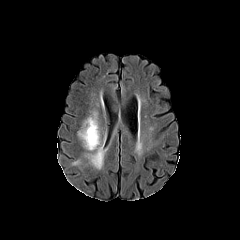
FLAIR MR image.
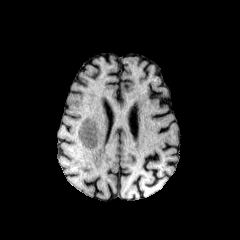
T1-weighted MR.
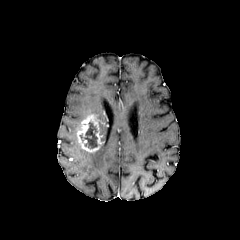
Post-contrast T1-weighted MR image.
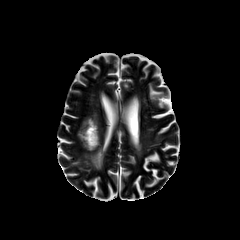
T2-weighted magnetic resonance.
240x240 px, Head
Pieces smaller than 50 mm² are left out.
peritumoral edema at (x1=85, y1=145, x2=104, y2=169)
necrotic tumor core at (x1=80, y1=122, x2=97, y2=148)
enhancing tumor at (x1=77, y1=114, x2=101, y2=152)